FLAIR MRI.
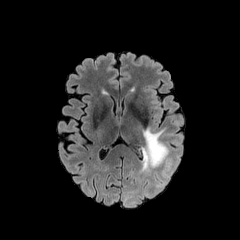
T1-weighted magnetic resonance.
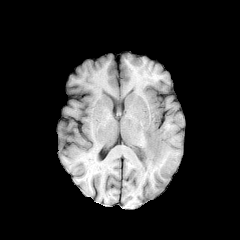
Post-contrast T1-weighted MR image.
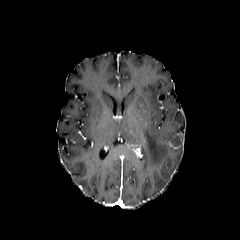
T2-weighted MRI.
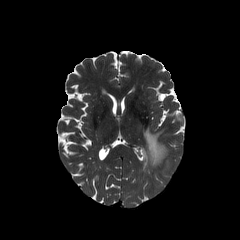
240x240 px
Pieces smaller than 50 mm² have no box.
peritumoral edema: bbox=[140, 127, 170, 176]